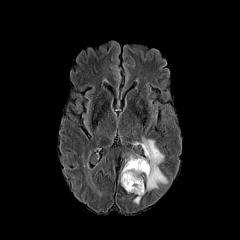
FLAIR MRI.
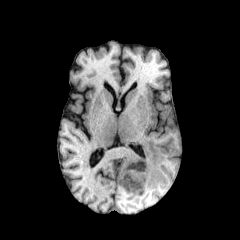
T1-weighted MR of the same slice.
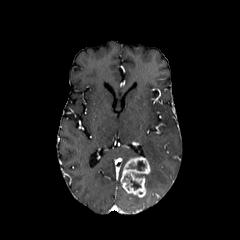
Same slice, post-contrast T1-weighted MRI.
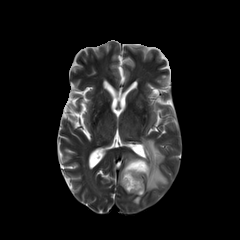
T2-weighted magnetic resonance.
Brain. Axial plane.
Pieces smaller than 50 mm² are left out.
<segmentation>
  <enhancing_tumor>120:156:150:197</enhancing_tumor>
  <necrotic_tumor_core>130:179:140:189, 129:161:145:170</necrotic_tumor_core>
  <peritumoral_edema>136:138:167:190</peritumoral_edema>
</segmentation>